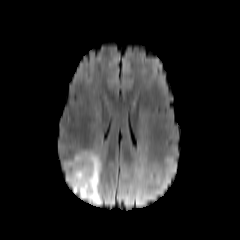
FLAIR magnetic resonance.
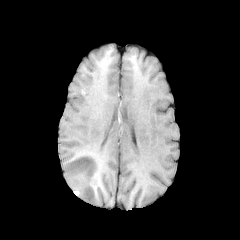
T1-weighted MRI.
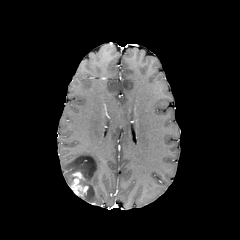
Same slice, post-contrast T1-weighted MR image.
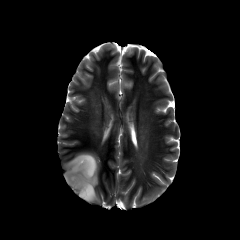
T2-weighted MR image.
Axial view | 240x240 | Head
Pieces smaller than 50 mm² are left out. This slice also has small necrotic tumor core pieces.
- enhancing tumor: region(69, 171, 88, 196)
- peritumoral edema: region(64, 151, 101, 204)